Axial slice.
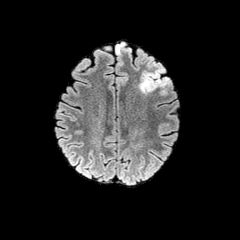
FLAIR MRI.
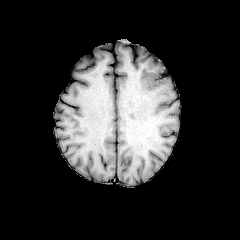
T1-weighted MR image.
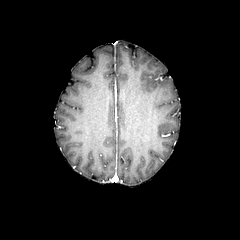
Same slice, post-contrast T1-weighted MR image.
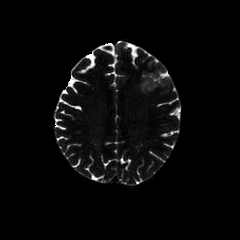
T2-weighted magnetic resonance.
peritumoral_edema:
  - box=[115, 42, 127, 55]
  - box=[139, 68, 170, 94]